Image covers 240 mm x 240 mm; 240x240; Slice 42 of 155
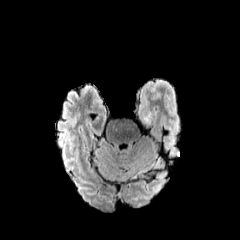
FLAIR MRI.
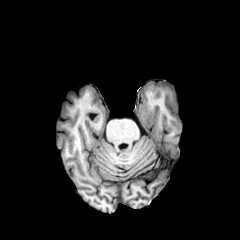
T1-weighted MR image.
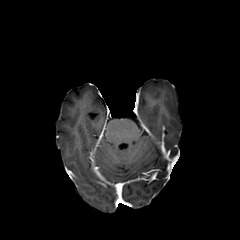
Same slice, post-contrast T1-weighted MR image.
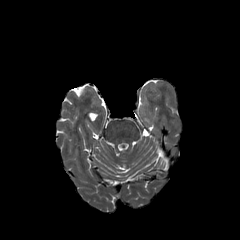
T2-weighted MR.
peritumoral_edema:
  - [143,113,150,123]